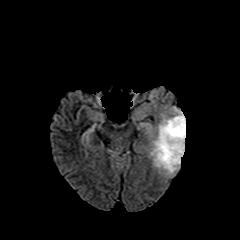
FLAIR MR.
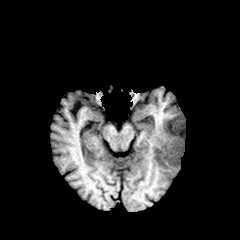
T1-weighted MR image of the same slice.
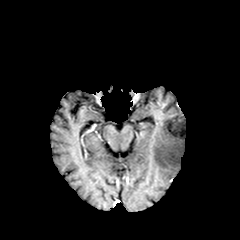
Same slice, post-contrast T1-weighted MRI.
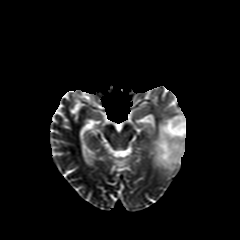
Same slice, T2-weighted MRI.
Axial plane
peritumoral edema — (left=150, top=106, right=185, bottom=174)